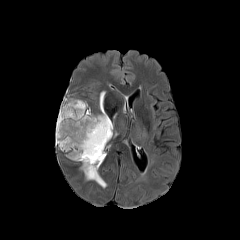
FLAIR magnetic resonance.
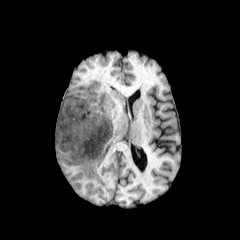
T1-weighted MR of the same slice.
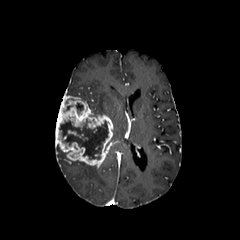
Post-contrast T1-weighted MR.
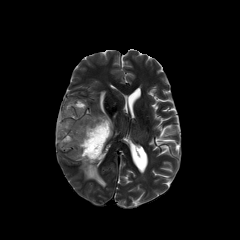
T2-weighted MRI of the same slice.
Image size 240x240 | Brain | Axial slice
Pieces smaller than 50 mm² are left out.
{"enhancing_tumor": ["(56, 90, 113, 167)", "(68, 130, 83, 137)"], "peritumoral_edema": ["(98, 91, 106, 114)", "(80, 162, 106, 188)"], "necrotic_tumor_core": ["(60, 120, 108, 159)", "(76, 103, 83, 111)"]}